FLAIR MR image.
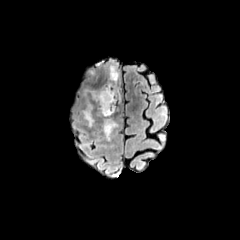
T1-weighted MRI.
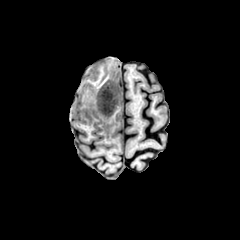
Post-contrast T1-weighted MR image.
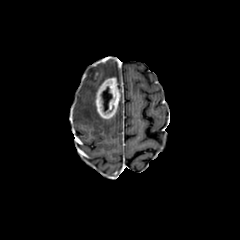
T2-weighted magnetic resonance.
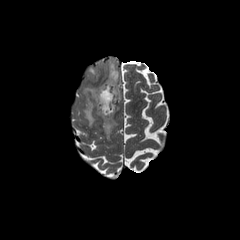
Head; 240x240; Axial slice
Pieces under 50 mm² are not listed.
Findings:
* enhancing tumor: rect(95, 77, 120, 118)
* peritumoral edema: rect(82, 102, 94, 126); rect(102, 118, 117, 140); rect(109, 64, 119, 81)
* necrotic tumor core: rect(101, 87, 112, 111)